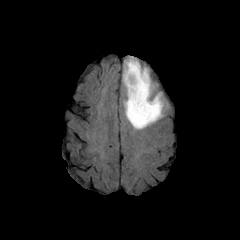
FLAIR magnetic resonance.
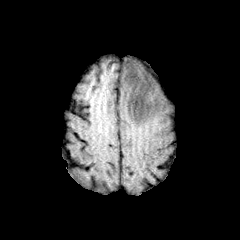
T1-weighted MRI.
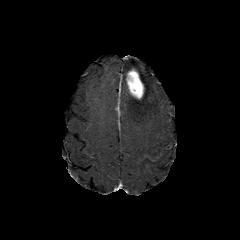
Same slice, post-contrast T1-weighted magnetic resonance.
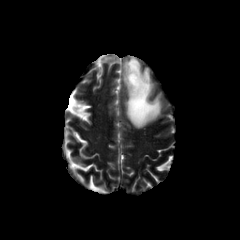
Same slice, T2-weighted magnetic resonance.
enhancing tumor at x1=125, y1=67, x2=144, y2=99
peritumoral edema at x1=123, y1=57, x2=163, y2=129